Axial view. Head. Image width 240 mm. 240x240.
FLAIR MRI.
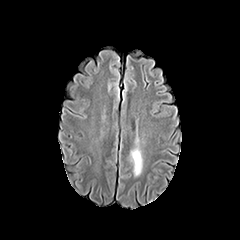
T1-weighted MRI.
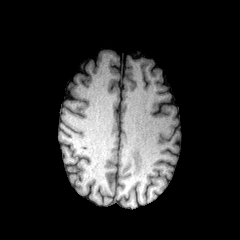
Post-contrast T1-weighted MR.
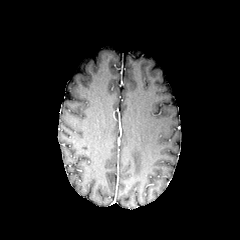
T2-weighted MR image.
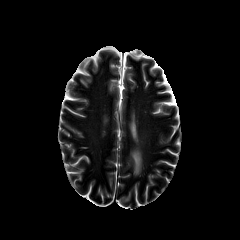
peritumoral edema = 131:147:142:175